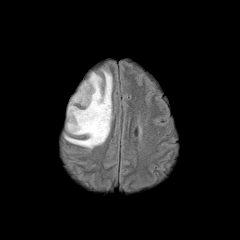
FLAIR MR image.
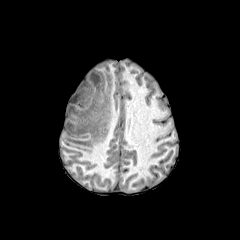
T1-weighted magnetic resonance of the same slice.
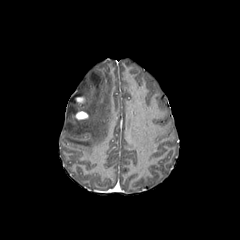
Same slice, post-contrast T1-weighted magnetic resonance.
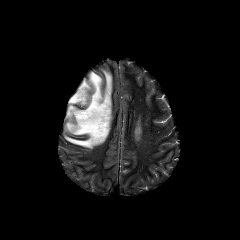
T2-weighted MR image.
enhancing tumor at (x1=76, y1=97, x2=84, y2=103), (x1=75, y1=111, x2=88, y2=119)
peritumoral edema at (x1=64, y1=69, x2=112, y2=148)